FLAIR MRI.
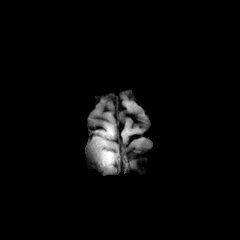
T1-weighted MR.
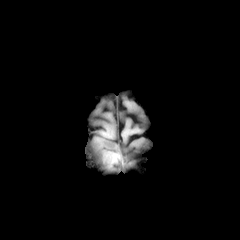
Post-contrast T1-weighted magnetic resonance.
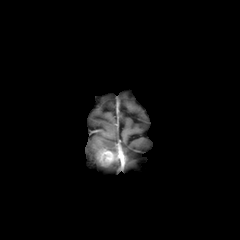
T2-weighted magnetic resonance.
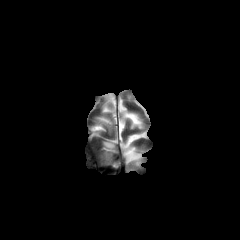
Axial plane. 240x240.
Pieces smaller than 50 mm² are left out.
{"peritumoral_edema": ["107:125:113:135", "101:140:112:146"], "enhancing_tumor": ["98:150:113:163"]}